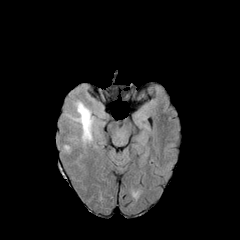
FLAIR MR.
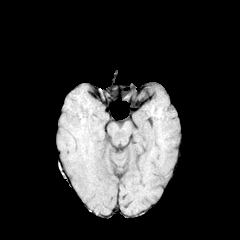
Same slice, T1-weighted magnetic resonance.
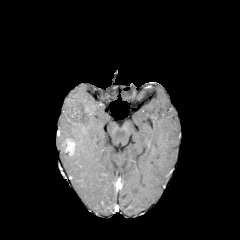
Same slice, post-contrast T1-weighted MRI.
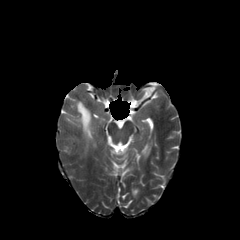
T2-weighted MR image of the same slice.
Axial slice.
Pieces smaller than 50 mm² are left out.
The largest peritumoral edema region is bounded by x1=67, y1=101, x2=93, y2=143. The enhancing tumor is bounded by x1=66, y1=141, x2=74, y2=153.